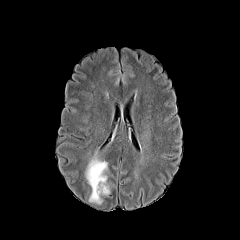
FLAIR MRI.
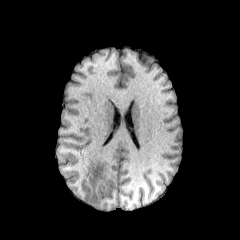
T1-weighted MRI.
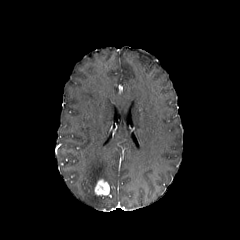
Post-contrast T1-weighted MR image.
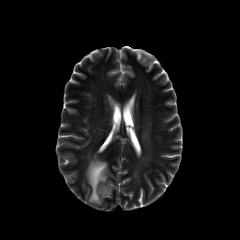
T2-weighted MR image of the same slice.
Axial view, 240x240 px, Head
enhancing_tumor:
  - 94:179:109:195
necrotic_tumor_core:
  - 97:182:106:192
peritumoral_edema:
  - 85:152:107:204